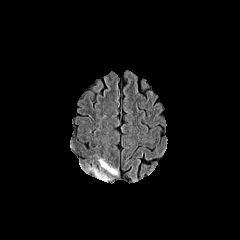
FLAIR MRI.
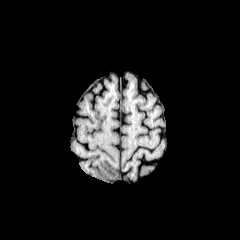
T1-weighted MR.
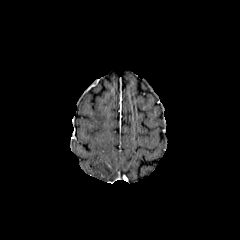
Post-contrast T1-weighted MR image of the same slice.
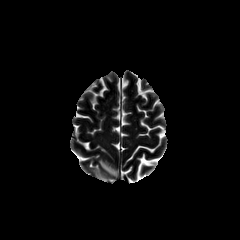
T2-weighted MRI.
Head; Axial slice; 240x240
- peritumoral edema: [x1=99, y1=159, x2=117, y2=175], [x1=89, y1=168, x2=110, y2=181]